Axial view | Image width 240 mm, 1.00 mm slice spacing | 240x240
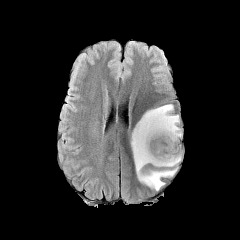
FLAIR MRI.
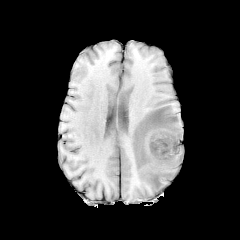
Same slice, T1-weighted MR.
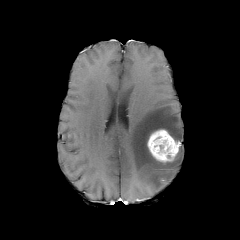
Post-contrast T1-weighted magnetic resonance.
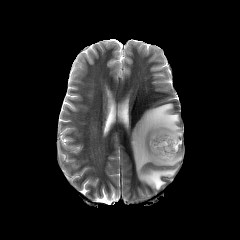
T2-weighted MR of the same slice.
Segmented structures:
• peritumoral edema: {"x1": 131, "y1": 104, "x2": 182, "y2": 190}
• enhancing tumor: {"x1": 147, "y1": 129, "x2": 180, "y2": 163}